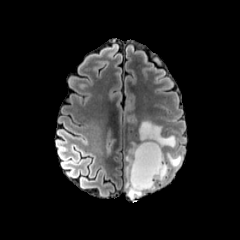
FLAIR MR.
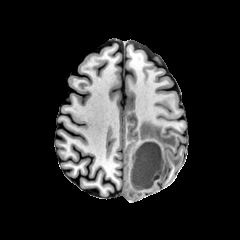
T1-weighted MR.
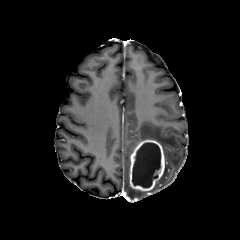
Post-contrast T1-weighted MRI.
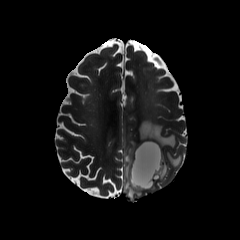
T2-weighted MRI.
240x240 | Brain
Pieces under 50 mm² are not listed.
The enhancing tumor is bounded by (left=129, top=139, right=164, bottom=193). The necrotic tumor core is at (left=132, top=142, right=160, bottom=187). The 2 largest peritumoral edema regions are bounded by (left=138, top=121, right=182, bottom=182), (left=125, top=141, right=145, bottom=199).